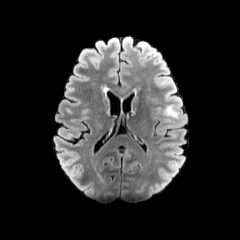
FLAIR MRI.
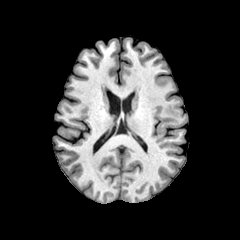
T1-weighted MRI of the same slice.
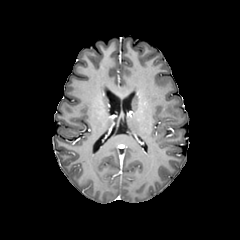
Post-contrast T1-weighted magnetic resonance of the same slice.
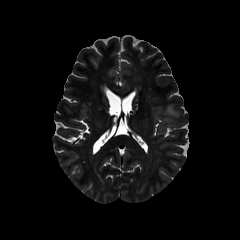
T2-weighted MRI.
<segmentation>
  <peritumoral_edema>bbox(164, 105, 178, 123)</peritumoral_edema>
</segmentation>